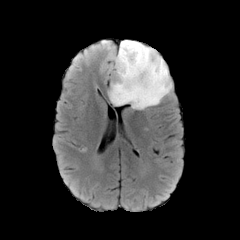
FLAIR MRI.
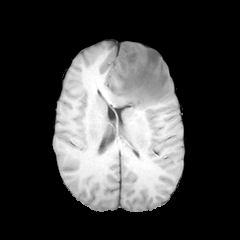
T1-weighted magnetic resonance.
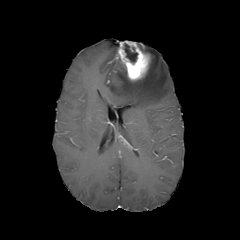
Post-contrast T1-weighted magnetic resonance of the same slice.
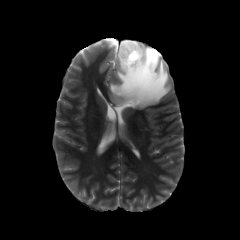
T2-weighted magnetic resonance.
Image size 240x240. Brain.
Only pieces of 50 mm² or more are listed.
necrotic_tumor_core:
  - (124, 44, 137, 62)
peritumoral_edema:
  - (108, 43, 172, 109)
enhancing_tumor:
  - (115, 40, 150, 81)